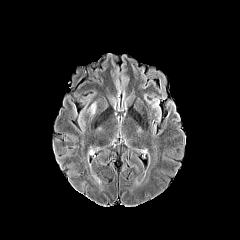
FLAIR magnetic resonance.
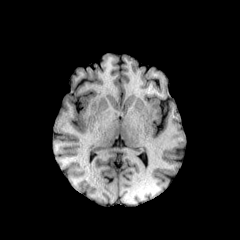
Same slice, T1-weighted MR.
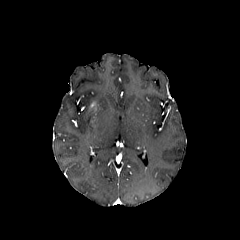
Post-contrast T1-weighted MR.
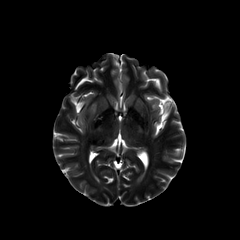
T2-weighted magnetic resonance.
Brain, Axial view
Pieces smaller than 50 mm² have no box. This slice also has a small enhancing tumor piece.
peritumoral edema: x1=87 y1=108 x2=95 y2=116